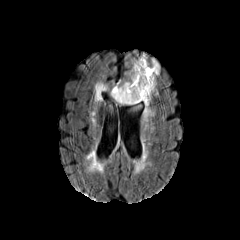
FLAIR MR.
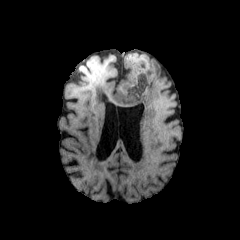
T1-weighted MR image.
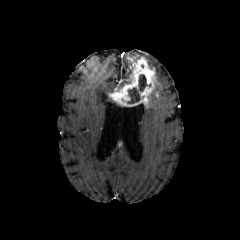
Post-contrast T1-weighted MR.
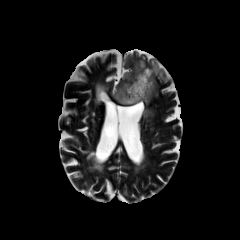
Same slice, T2-weighted MR image.
240x240. Axial view.
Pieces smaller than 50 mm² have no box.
The 2 largest peritumoral edema regions are located at x1=117, y1=79, x2=130, y2=86; x1=150, y1=59, x2=159, y2=78. The 2 largest necrotic tumor core regions are bounded by x1=139, y1=75, x2=146, y2=91; x1=127, y1=88, x2=140, y2=103. The enhancing tumor appears at x1=109, y1=57, x2=156, y2=107.